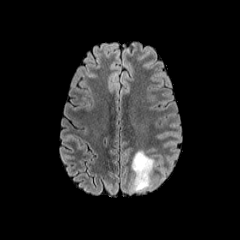
FLAIR MR image.
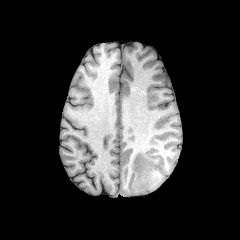
Same slice, T1-weighted MR image.
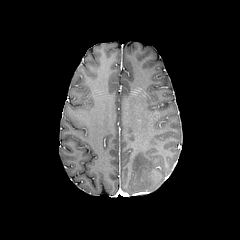
Same slice, post-contrast T1-weighted MR.
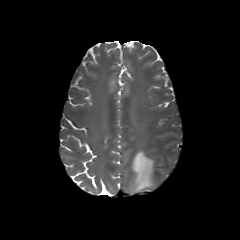
T2-weighted MR.
Axial plane, Brain
peritumoral edema: bounding box [132,151,159,191]